FLAIR MR.
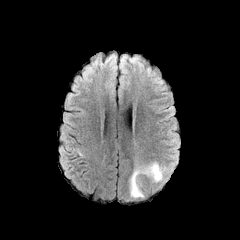
T1-weighted MR image.
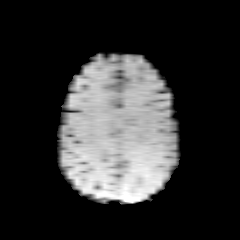
Post-contrast T1-weighted MR.
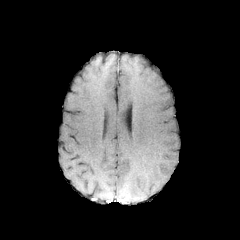
T2-weighted MRI.
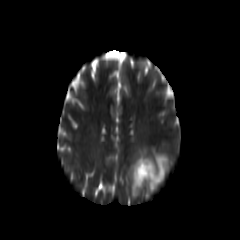
Axial view
peritumoral edema: bbox(130, 161, 169, 198)